Head
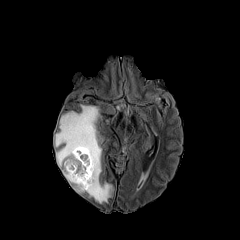
FLAIR MRI.
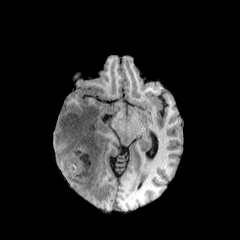
Same slice, T1-weighted MRI.
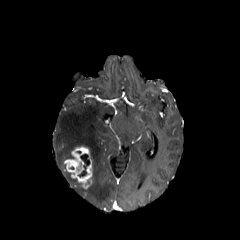
Post-contrast T1-weighted MR of the same slice.
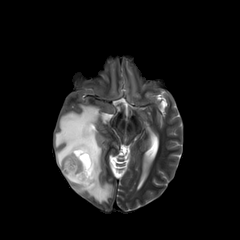
Same slice, T2-weighted magnetic resonance.
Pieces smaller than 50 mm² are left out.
The peritumoral edema is at left=54, top=105, right=113, bottom=203. The enhancing tumor is bounded by left=64, top=146, right=92, bottom=188. The largest necrotic tumor core region lies within left=78, top=154, right=89, bottom=177.